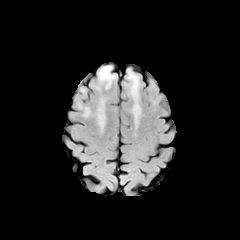
FLAIR MRI.
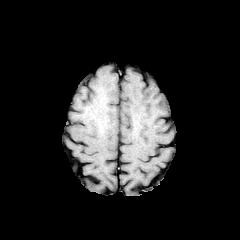
T1-weighted MR.
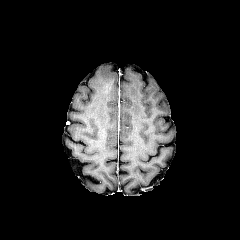
Post-contrast T1-weighted magnetic resonance of the same slice.
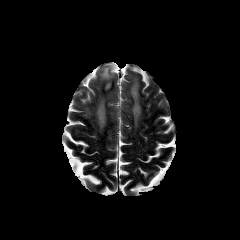
T2-weighted MR of the same slice.
Head | Axial slice | 240x240 px
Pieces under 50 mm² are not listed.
peritumoral_edema:
  - x1=96, y1=99, x2=105, y2=128
  - x1=98, y1=65, x2=116, y2=89
  - x1=126, y1=69, x2=141, y2=125